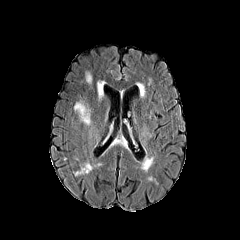
FLAIR MR image.
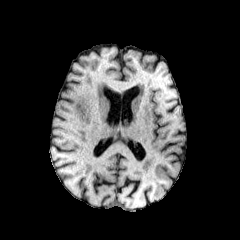
T1-weighted MR image.
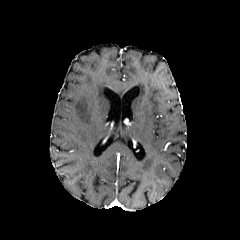
Post-contrast T1-weighted magnetic resonance of the same slice.
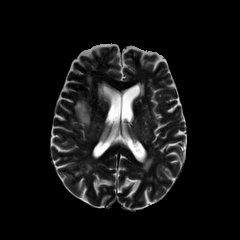
Same slice, T2-weighted MRI.
Brain.
peritumoral edema = rect(74, 101, 90, 124); rect(85, 72, 91, 84); rect(97, 81, 104, 99)